Head; Image size 240x240; Slice index 57
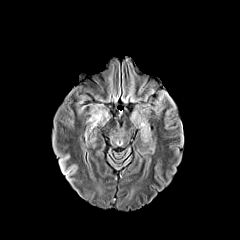
FLAIR MRI.
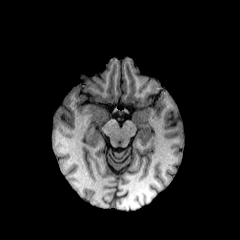
T1-weighted MR image.
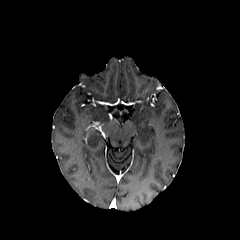
Post-contrast T1-weighted MR image.
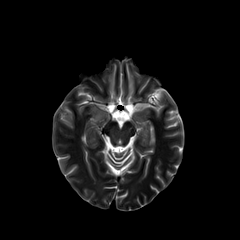
T2-weighted MRI.
{
  "peritumoral_edema": [
    "l=90, t=112, r=102, b=121"
  ]
}